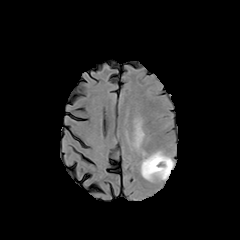
FLAIR MRI.
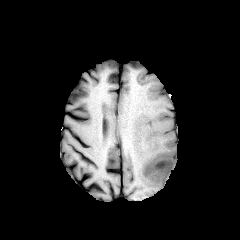
Same slice, T1-weighted magnetic resonance.
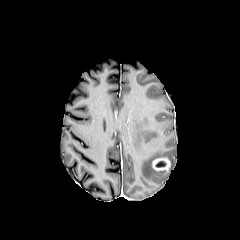
Post-contrast T1-weighted MRI of the same slice.
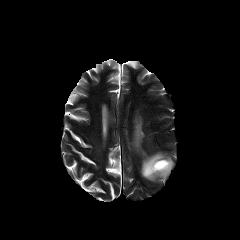
T2-weighted MRI.
240x240 px
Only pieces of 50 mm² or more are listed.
- enhancing tumor: (152, 158, 170, 174)
- necrotic tumor core: (156, 161, 165, 167)
- peritumoral edema: (141, 152, 174, 181), (134, 120, 143, 148)